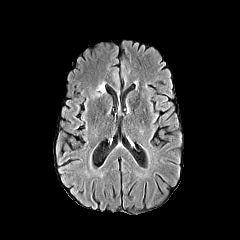
FLAIR MRI.
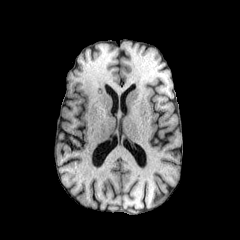
T1-weighted MR image.
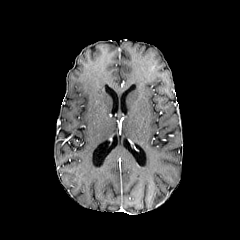
Post-contrast T1-weighted MR.
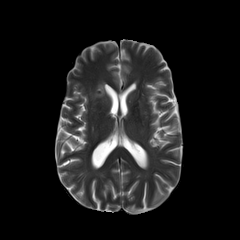
Same slice, T2-weighted MRI.
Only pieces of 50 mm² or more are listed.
* peritumoral edema: x1=96 y1=83 x2=105 y2=93